FLAIR magnetic resonance.
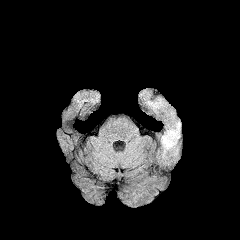
T1-weighted MR.
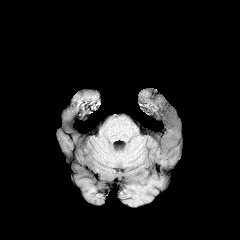
Post-contrast T1-weighted MR image.
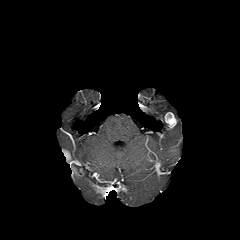
T2-weighted MRI.
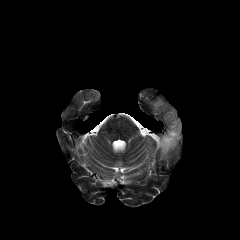
Brain; Axial slice
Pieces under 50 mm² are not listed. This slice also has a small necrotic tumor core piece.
enhancing_tumor:
  - {"x1": 165, "y1": 112, "x2": 177, "y2": 129}
peritumoral_edema:
  - {"x1": 161, "y1": 121, "x2": 180, "y2": 156}
  - {"x1": 148, "y1": 98, "x2": 166, "y2": 111}